Axial plane. Brain.
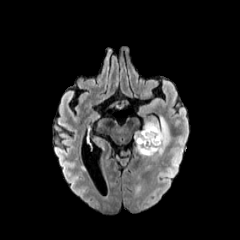
FLAIR magnetic resonance.
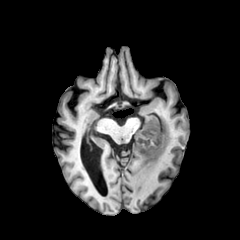
Same slice, T1-weighted MRI.
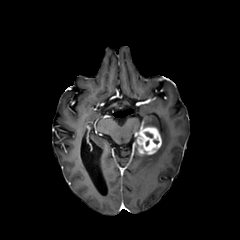
Post-contrast T1-weighted MR of the same slice.
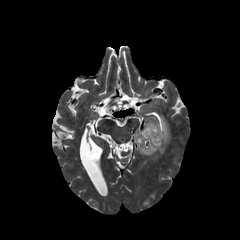
Same slice, T2-weighted MRI.
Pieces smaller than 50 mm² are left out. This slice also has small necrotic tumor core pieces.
peritumoral edema at 141:117:170:157
enhancing tumor at 135:126:161:154